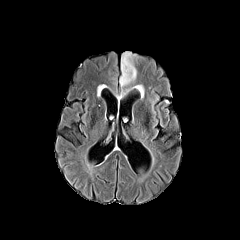
FLAIR magnetic resonance.
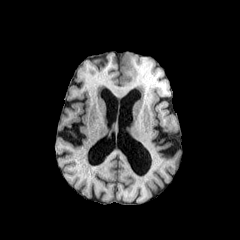
Same slice, T1-weighted MR.
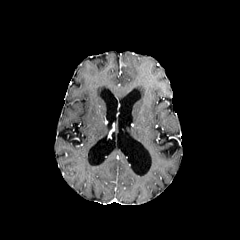
Post-contrast T1-weighted MR.
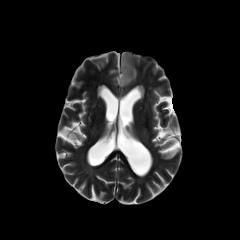
T2-weighted MR.
Axial view
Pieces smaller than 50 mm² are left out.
peritumoral edema: 119,52,136,97; 132,85,144,98